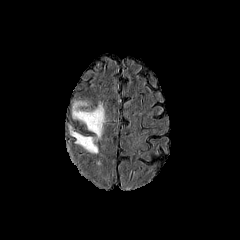
FLAIR MRI.
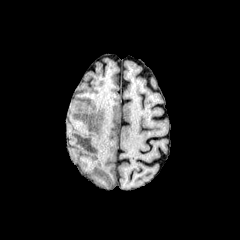
T1-weighted magnetic resonance.
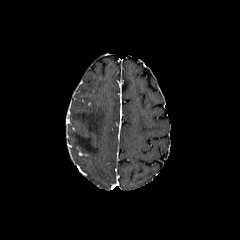
Post-contrast T1-weighted MR image.
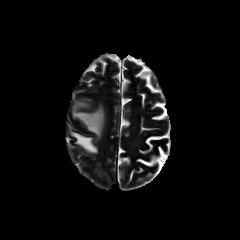
T2-weighted MRI.
The peritumoral edema appears at 70:101:105:153.